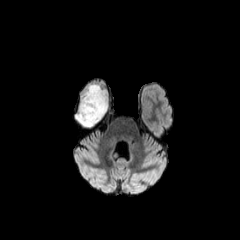
FLAIR magnetic resonance.
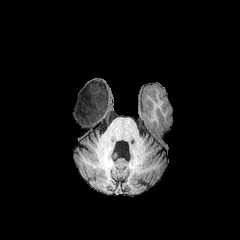
T1-weighted MR.
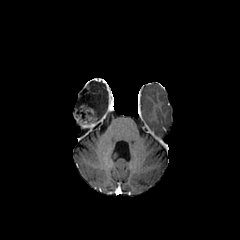
Post-contrast T1-weighted MR.
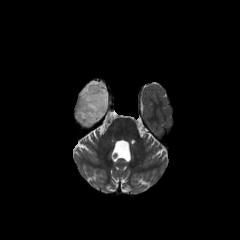
T2-weighted MR of the same slice.
Head.
peritumoral edema: bbox=[79, 82, 108, 121] | enhancing tumor: bbox=[75, 104, 97, 128] | necrotic tumor core: bbox=[80, 112, 89, 122]